Image width 240 mm; 240x240 px; Axial view
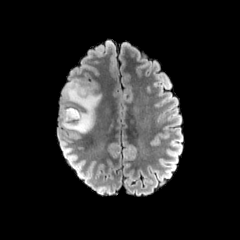
FLAIR MR image.
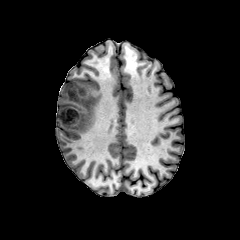
T1-weighted MR image.
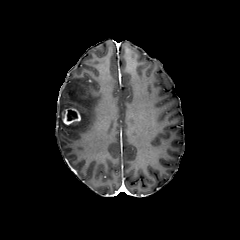
Post-contrast T1-weighted MR image.
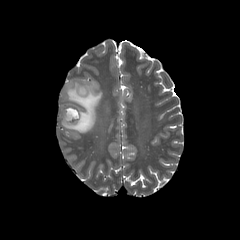
T2-weighted magnetic resonance.
peritumoral edema: rect(59, 78, 101, 133)
enhancing tumor: rect(62, 107, 81, 125)
necrotic tumor core: rect(67, 109, 77, 120)